Head; Axial view
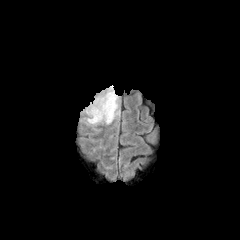
FLAIR magnetic resonance.
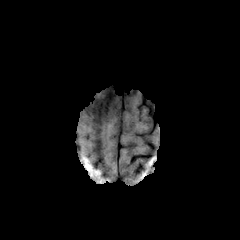
T1-weighted magnetic resonance of the same slice.
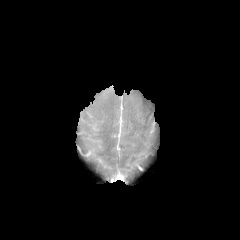
Same slice, post-contrast T1-weighted magnetic resonance.
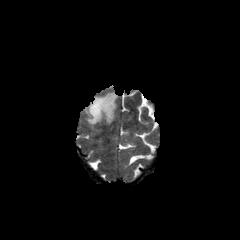
T2-weighted MR image.
The peritumoral edema is located at bbox(85, 92, 117, 124).